FLAIR magnetic resonance.
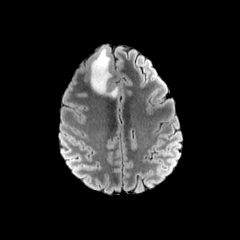
T1-weighted MRI.
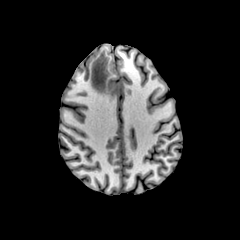
Post-contrast T1-weighted MR image.
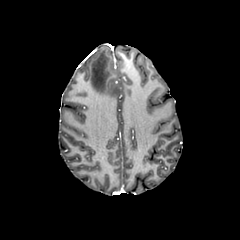
T2-weighted MRI.
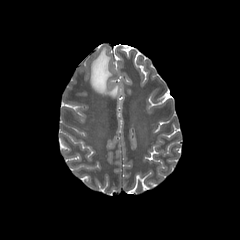
Head
peritumoral edema at [90,47,118,97]